Image width 240 mm, 1.00 mm slice spacing; Axial plane
FLAIR MR.
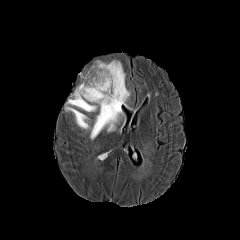
T1-weighted magnetic resonance.
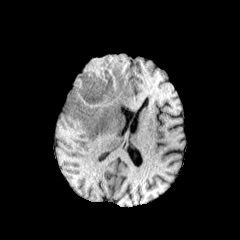
Post-contrast T1-weighted MRI.
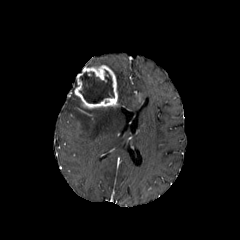
T2-weighted MR.
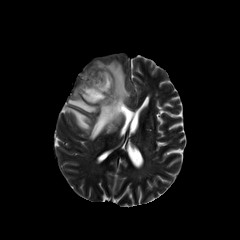
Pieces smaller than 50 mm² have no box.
<segmentation>
  <enhancing_tumor><box>74,65,118,108</box></enhancing_tumor>
  <necrotic_tumor_core><box>79,70,114,103</box></necrotic_tumor_core>
  <peritumoral_edema><box>65,60,130,139</box></peritumoral_edema>
</segmentation>